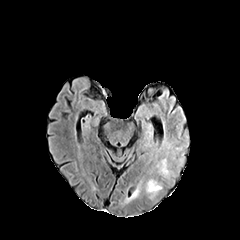
FLAIR MRI.
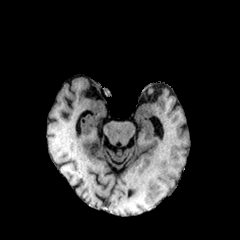
Same slice, T1-weighted magnetic resonance.
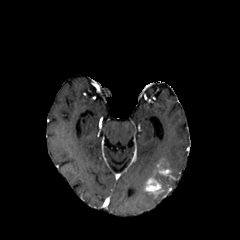
Post-contrast T1-weighted magnetic resonance of the same slice.
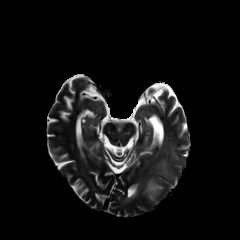
T2-weighted MR image.
Brain, 240x240 px, Axial slice
<segmentation>
  <enhancing_tumor>left=143, top=159, right=171, bottom=199</enhancing_tumor>
</segmentation>